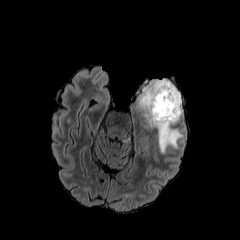
FLAIR MR image.
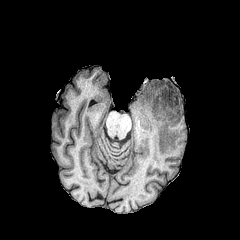
T1-weighted magnetic resonance of the same slice.
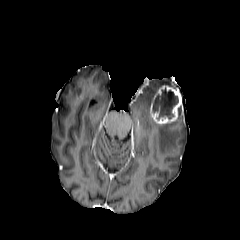
Same slice, post-contrast T1-weighted MRI.
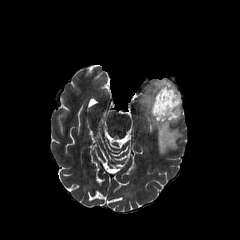
T2-weighted MRI.
peritumoral edema: [139,78,183,153] | necrotic tumor core: [153,88,178,119] | enhancing tumor: [150,85,182,124]